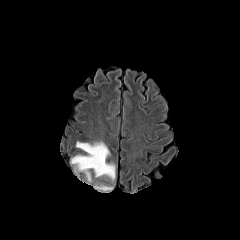
FLAIR MR.
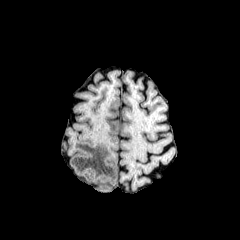
Same slice, T1-weighted MR.
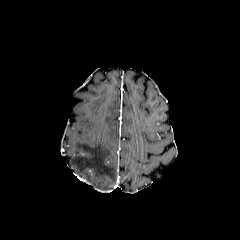
Post-contrast T1-weighted MR image.
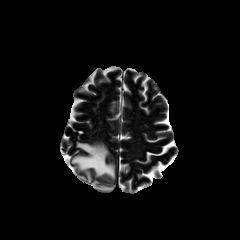
T2-weighted MR.
peritumoral edema — box(71, 141, 115, 181); box(97, 185, 112, 190)